FLAIR MR.
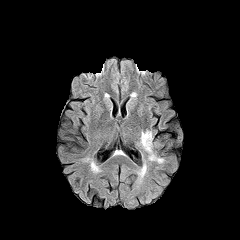
T1-weighted magnetic resonance.
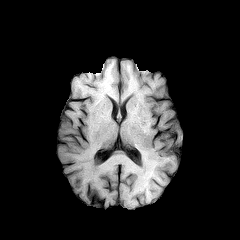
Post-contrast T1-weighted MR.
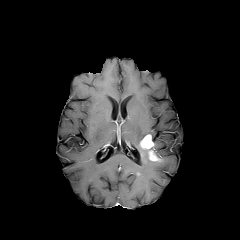
T2-weighted magnetic resonance.
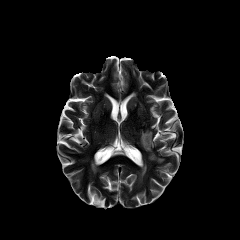
Axial plane. Brain.
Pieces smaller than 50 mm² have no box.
enhancing tumor: bounding box l=140, t=134, r=161, b=161
peritumoral edema: bounding box l=140, t=130, r=152, b=141; l=140, t=163, r=146, b=176